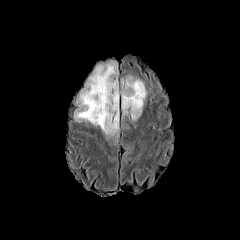
FLAIR MRI.
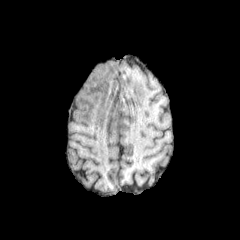
T1-weighted magnetic resonance.
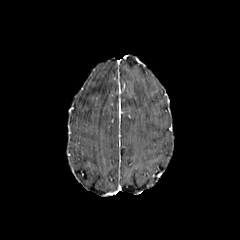
Post-contrast T1-weighted magnetic resonance.
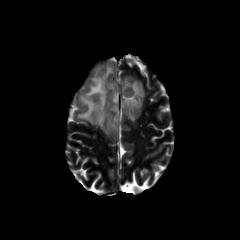
T2-weighted magnetic resonance.
Brain | Axial slice
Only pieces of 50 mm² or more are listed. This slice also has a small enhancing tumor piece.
peritumoral edema at (121,76,146,120), (74,60,118,135)